FLAIR MR image.
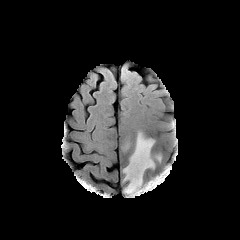
T1-weighted MR image.
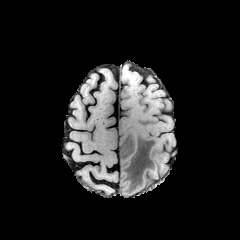
Post-contrast T1-weighted magnetic resonance.
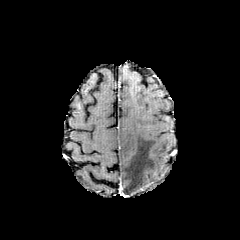
T2-weighted MRI.
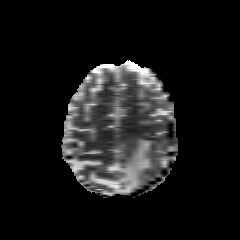
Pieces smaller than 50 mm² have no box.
peritumoral edema: [122,133,154,194], [144,179,160,191]